Axial slice; 240x240
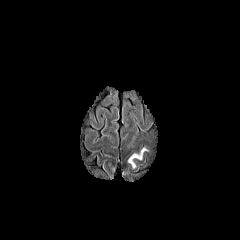
FLAIR MRI.
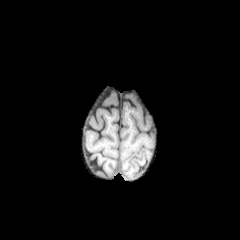
T1-weighted MR image.
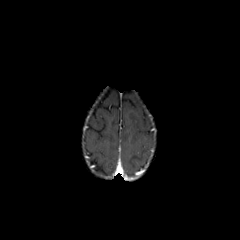
Post-contrast T1-weighted MRI.
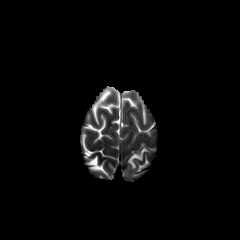
T2-weighted MR image.
The peritumoral edema is bounded by 128, 148, 146, 167.